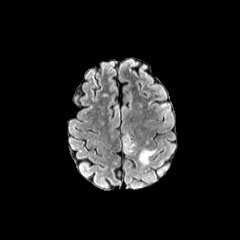
FLAIR MR.
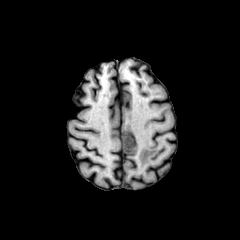
T1-weighted MRI.
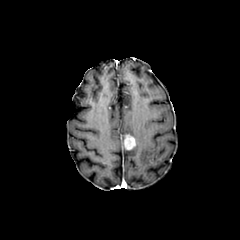
Post-contrast T1-weighted MR.
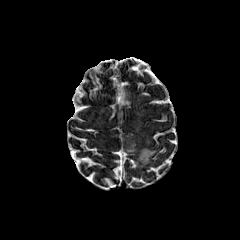
T2-weighted MR image of the same slice.
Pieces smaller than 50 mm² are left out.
peritumoral edema at {"x1": 124, "y1": 147, "x2": 136, "y2": 154}, {"x1": 139, "y1": 148, "x2": 156, "y2": 165}
enhancing tumor at {"x1": 124, "y1": 134, "x2": 135, "y2": 149}